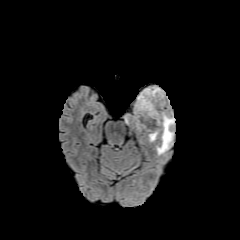
FLAIR MRI.
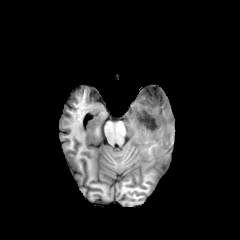
Same slice, T1-weighted magnetic resonance.
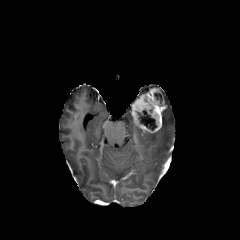
Post-contrast T1-weighted MR of the same slice.
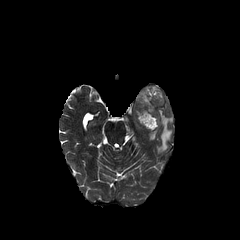
T2-weighted MR of the same slice.
Axial plane | Head
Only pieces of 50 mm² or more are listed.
enhancing_tumor:
  - region(132, 87, 166, 132)
peritumoral_edema:
  - region(156, 107, 174, 154)
  - region(149, 131, 158, 141)
necrotic_tumor_core:
  - region(137, 110, 156, 130)
  - region(154, 93, 162, 103)